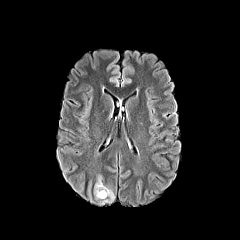
FLAIR MRI.
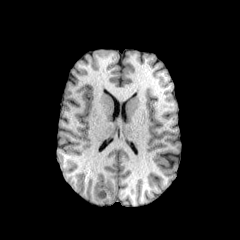
T1-weighted MR image.
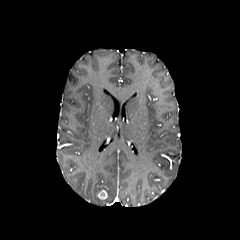
Post-contrast T1-weighted MR image.
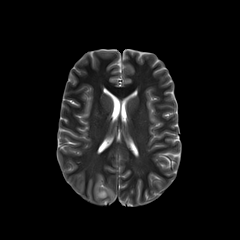
T2-weighted magnetic resonance.
Head; Axial view
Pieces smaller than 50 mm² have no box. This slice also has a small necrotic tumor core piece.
peritumoral_edema:
  - 94 175 114 204
enhancing_tumor:
  - 97 190 107 199